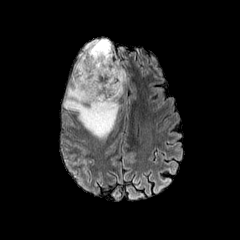
FLAIR MR image.
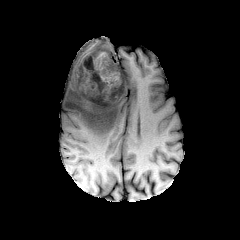
T1-weighted MRI.
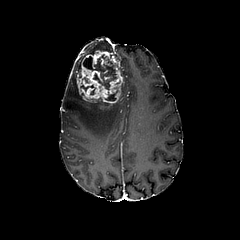
Post-contrast T1-weighted MR image.
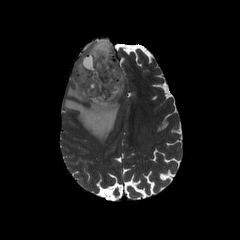
T2-weighted MRI.
240x240
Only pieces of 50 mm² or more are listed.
{"enhancing_tumor": ["[76, 50, 123, 108]"], "peritumoral_edema": ["[78, 39, 112, 61]", "[63, 61, 120, 140]", "[121, 67, 127, 94]"], "necrotic_tumor_core": ["[105, 91, 117, 100]", "[83, 54, 117, 89]"]}